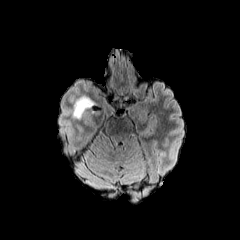
FLAIR magnetic resonance.
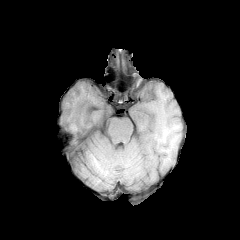
T1-weighted magnetic resonance.
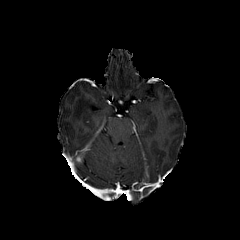
Post-contrast T1-weighted MR.
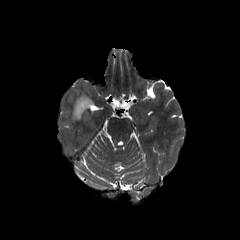
T2-weighted MRI.
Axial slice; Head
<segmentation>
  <peritumoral_edema>73:95:96:119</peritumoral_edema>
</segmentation>